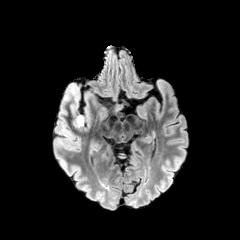
FLAIR MRI.
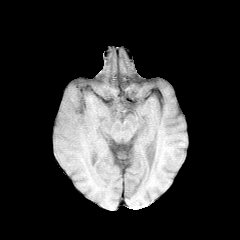
T1-weighted MRI.
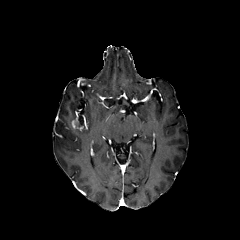
Post-contrast T1-weighted MR image.
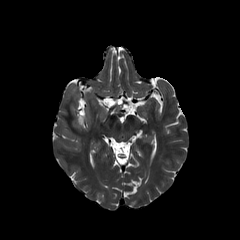
T2-weighted MRI of the same slice.
Axial view. Brain.
necrotic tumor core: bbox=[78, 115, 84, 125]
enhancing tumor: bbox=[71, 113, 86, 131]